FLAIR MR.
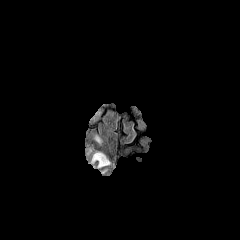
T1-weighted MR image.
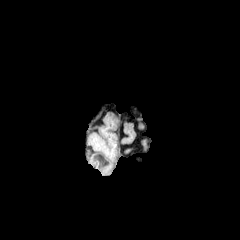
Post-contrast T1-weighted MR.
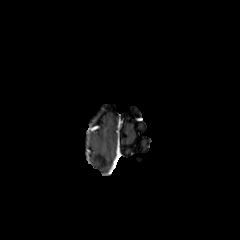
T2-weighted MR.
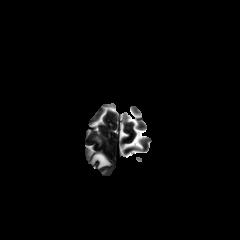
Head
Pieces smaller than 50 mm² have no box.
peritumoral edema at bbox=[92, 153, 109, 167]